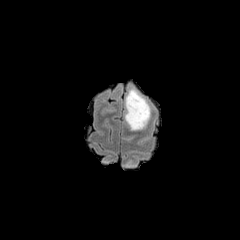
FLAIR magnetic resonance.
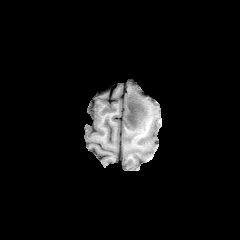
Same slice, T1-weighted MR image.
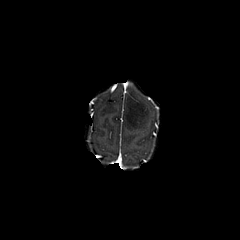
Post-contrast T1-weighted MR of the same slice.
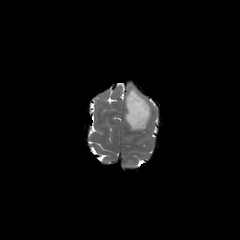
T2-weighted MR image.
Head.
The peritumoral edema is located at l=125, t=89, r=150, b=129. The necrotic tumor core is at l=126, t=107, r=138, b=125.